FLAIR MR image.
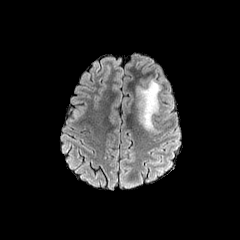
T1-weighted MRI.
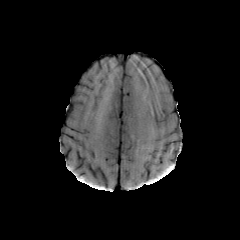
Post-contrast T1-weighted magnetic resonance.
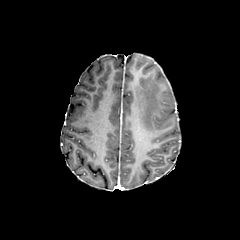
T2-weighted MRI.
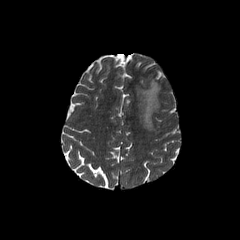
peritumoral_edema:
  - 135,80,160,133